Axial plane.
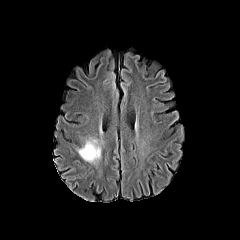
FLAIR MR image.
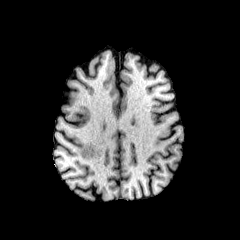
T1-weighted MR image.
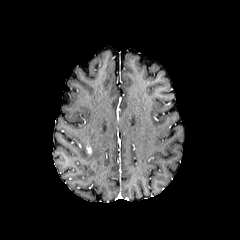
Post-contrast T1-weighted magnetic resonance.
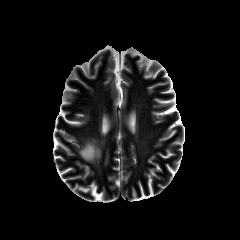
T2-weighted MR of the same slice.
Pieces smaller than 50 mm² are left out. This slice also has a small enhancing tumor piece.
peritumoral edema: x1=78, y1=138, x2=101, y2=163